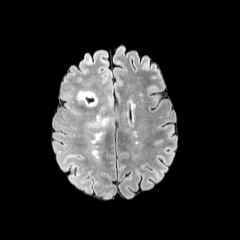
FLAIR magnetic resonance.
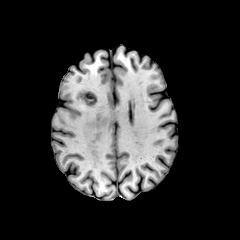
T1-weighted magnetic resonance.
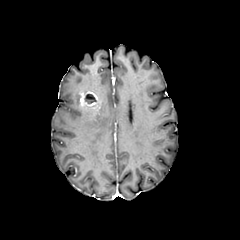
Post-contrast T1-weighted MRI of the same slice.
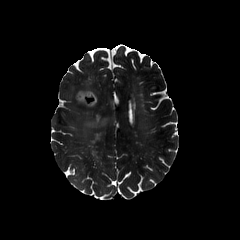
Same slice, T2-weighted MR image.
240x240 px, Brain, Axial slice
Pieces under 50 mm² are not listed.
enhancing tumor: bounding box 79 91 97 106
necrotic tumor core: bounding box 84 94 95 103
peritumoral edema: bounding box 75 82 94 105, 85 107 114 128